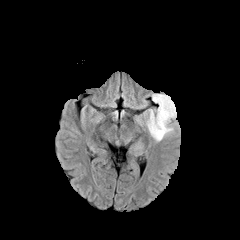
FLAIR MR.
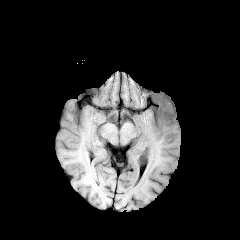
T1-weighted MR image of the same slice.
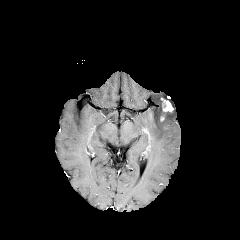
Post-contrast T1-weighted MRI.
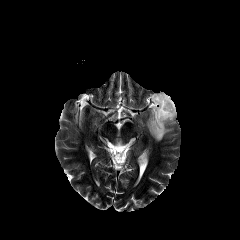
T2-weighted MRI.
Brain
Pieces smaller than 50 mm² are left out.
The largest peritumoral edema region lies within [145,93,176,141]. The largest enhancing tumor region is bounded by [161,98,173,112].